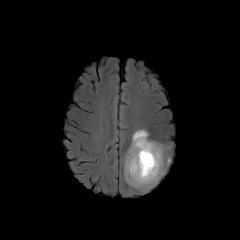
FLAIR MR.
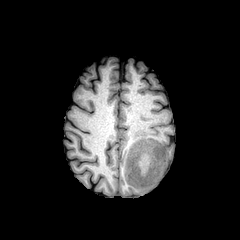
Same slice, T1-weighted magnetic resonance.
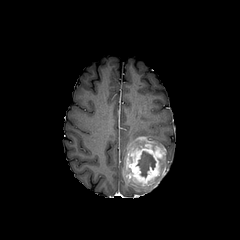
Post-contrast T1-weighted MRI.
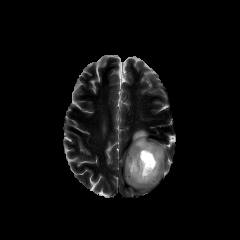
T2-weighted MR.
Axial slice.
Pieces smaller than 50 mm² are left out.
The largest necrotic tumor core region is bounded by [137, 151, 155, 177]. The 2 largest peritumoral edema regions appear at [128, 129, 148, 150], [127, 175, 162, 191]. The enhancing tumor is bounded by [124, 136, 165, 187].